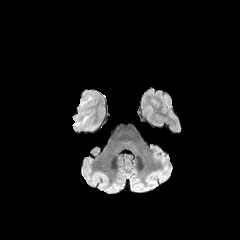
FLAIR magnetic resonance.
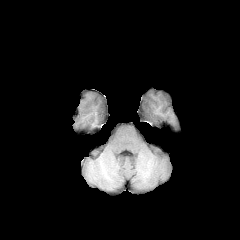
T1-weighted magnetic resonance.
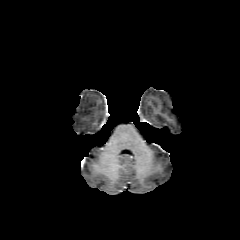
Post-contrast T1-weighted magnetic resonance of the same slice.
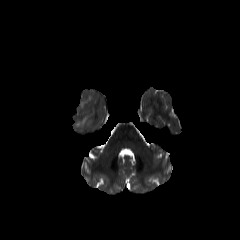
T2-weighted MR image.
Axial slice
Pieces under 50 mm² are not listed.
peritumoral edema: bbox(75, 116, 88, 125)